FLAIR MRI.
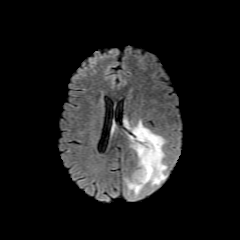
T1-weighted MR image.
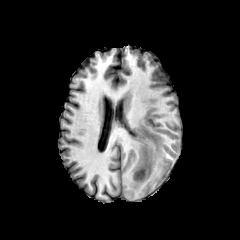
Post-contrast T1-weighted MR image.
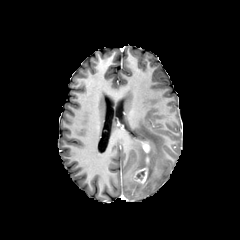
T2-weighted MR image.
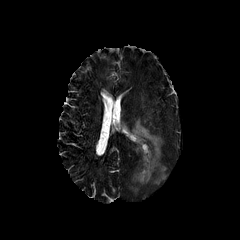
<segmentation>
  <necrotic_tumor_core>[x1=136, y1=171, x2=144, y2=179]</necrotic_tumor_core>
  <enhancing_tumor>[x1=134, y1=157, x2=149, y2=183], [x1=142, y1=142, x2=150, y2=153]</enhancing_tumor>
  <peritumoral_edema>[x1=125, y1=120, x2=167, y2=196]</peritumoral_edema>
</segmentation>